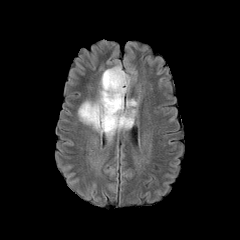
FLAIR magnetic resonance.
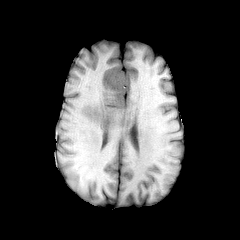
T1-weighted MRI.
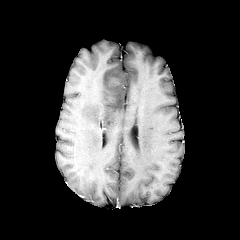
Post-contrast T1-weighted MRI of the same slice.
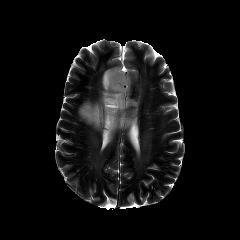
T2-weighted MRI.
enhancing tumor: l=109, t=77, r=120, b=86 | peritumoral edema: l=78, t=63, r=138, b=141